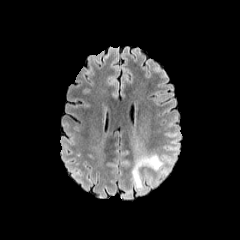
FLAIR MR image.
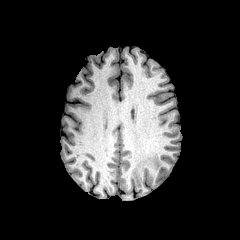
T1-weighted magnetic resonance.
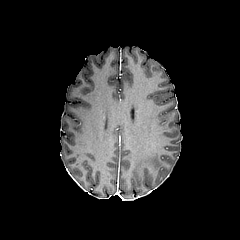
Post-contrast T1-weighted MR image of the same slice.
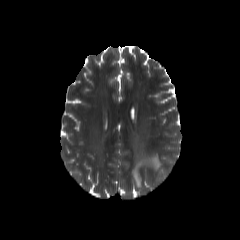
T2-weighted magnetic resonance.
Head
<segmentation>
  <peritumoral_edema>131:154:175:190</peritumoral_edema>
</segmentation>